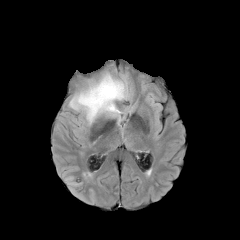
FLAIR MR image.
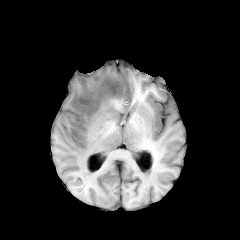
Same slice, T1-weighted MR image.
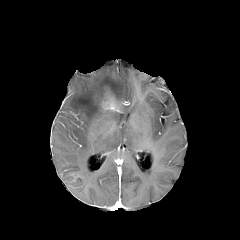
Post-contrast T1-weighted MR.
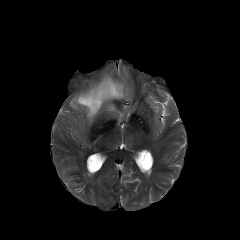
T2-weighted magnetic resonance of the same slice.
Axial plane
Annotated regions:
- enhancing tumor: {"x1": 102, "y1": 91, "x2": 117, "y2": 110}
- peritumoral edema: {"x1": 69, "y1": 63, "x2": 128, "y2": 124}